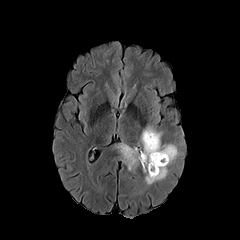
FLAIR MRI.
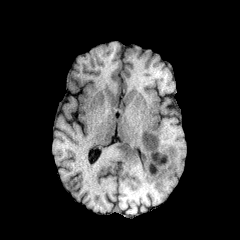
Same slice, T1-weighted MR.
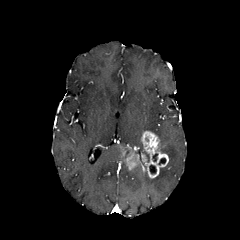
Post-contrast T1-weighted magnetic resonance.
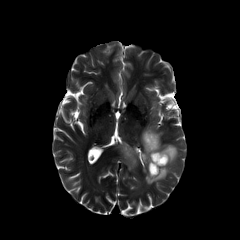
Same slice, T2-weighted MRI.
Image size 240x240
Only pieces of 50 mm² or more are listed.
<segmentation>
  <peritumoral_edema>bbox(145, 166, 168, 184); bbox(144, 126, 178, 165)</peritumoral_edema>
  <necrotic_tumor_core>bbox(149, 165, 156, 173)</necrotic_tumor_core>
  <enhancing_tumor>bbox(119, 131, 168, 178)</enhancing_tumor>
</segmentation>